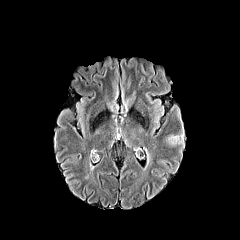
FLAIR MR image.
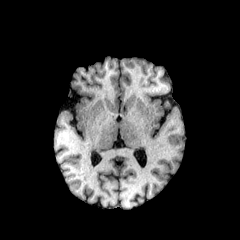
T1-weighted MR image of the same slice.
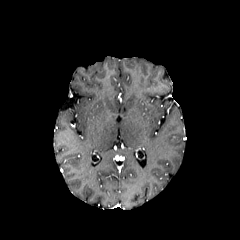
Post-contrast T1-weighted magnetic resonance.
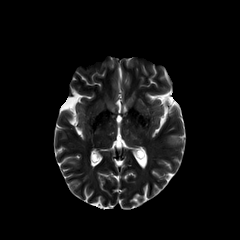
Same slice, T2-weighted MR.
Axial slice, Image size 240x240
{"peritumoral_edema": ["rect(167, 132, 183, 145)"]}